FLAIR magnetic resonance.
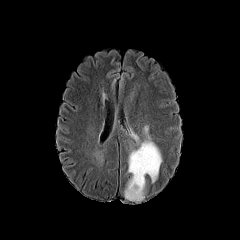
T1-weighted MRI.
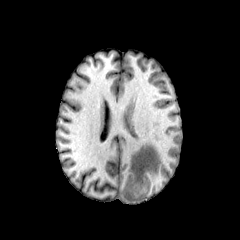
Post-contrast T1-weighted MR.
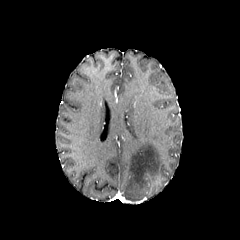
T2-weighted MRI.
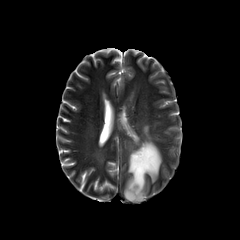
Axial slice, 240x240 px, Head
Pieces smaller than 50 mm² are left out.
peritumoral_edema:
  - box=[124, 124, 162, 203]
  - box=[130, 129, 140, 144]